FLAIR MR image.
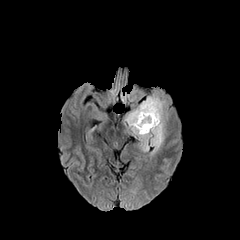
T1-weighted magnetic resonance.
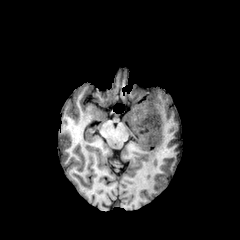
Post-contrast T1-weighted magnetic resonance.
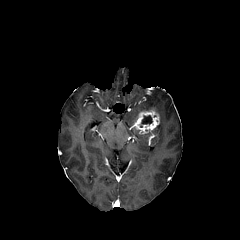
T2-weighted MR.
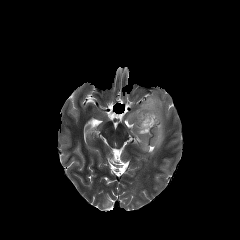
Axial plane. 240x240. Brain.
Annotated regions:
• peritumoral edema: [x1=132, y1=127, x2=150, y2=151], [x1=125, y1=94, x2=165, y2=154]
• enhancing tumor: [x1=132, y1=108, x2=159, y2=134]
• necrotic tumor core: [x1=140, y1=115, x2=152, y2=127]